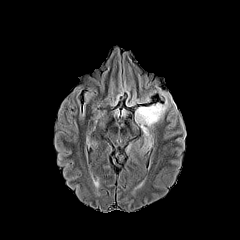
FLAIR MRI.
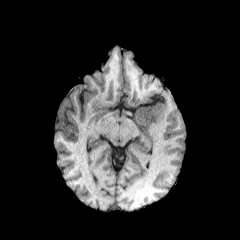
Same slice, T1-weighted MRI.
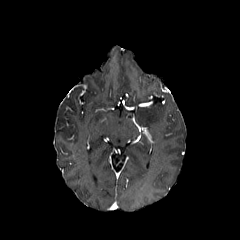
Same slice, post-contrast T1-weighted magnetic resonance.
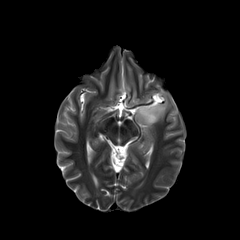
T2-weighted MR image.
Brain
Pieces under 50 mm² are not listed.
{"peritumoral_edema": ["[135, 92, 169, 131]"]}